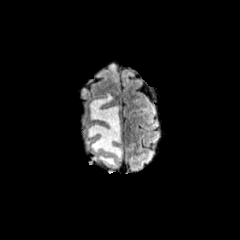
FLAIR MR image.
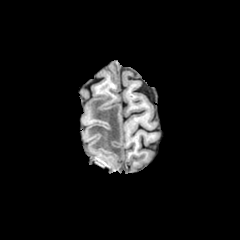
Same slice, T1-weighted magnetic resonance.
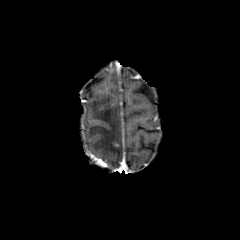
Post-contrast T1-weighted MRI.
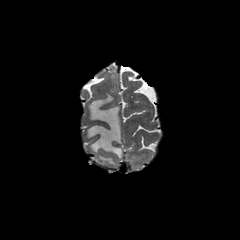
T2-weighted magnetic resonance.
Axial slice; Head
The enhancing tumor lies within 92,156,107,165. The peritumoral edema is bounded by 86,93,122,167.